Axial view, 240x240, Brain
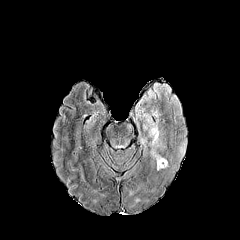
FLAIR MRI.
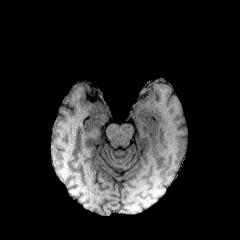
T1-weighted magnetic resonance.
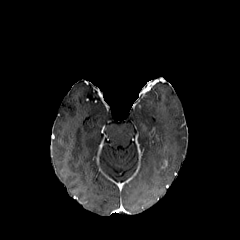
Post-contrast T1-weighted MR of the same slice.
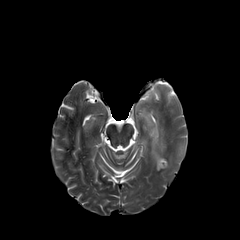
T2-weighted MR of the same slice.
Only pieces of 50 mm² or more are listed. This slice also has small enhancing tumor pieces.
peritumoral_edema:
  - (left=150, top=110, right=160, bottom=122)
  - (left=143, top=113, right=166, bottom=170)
  - (left=179, top=144, right=186, bottom=154)